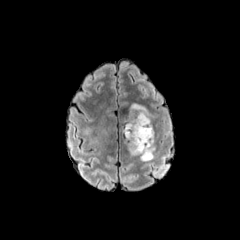
FLAIR MR.
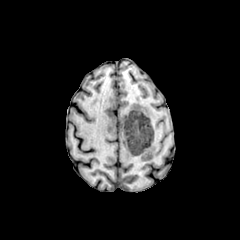
T1-weighted MRI.
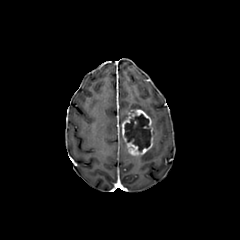
Same slice, post-contrast T1-weighted MR image.
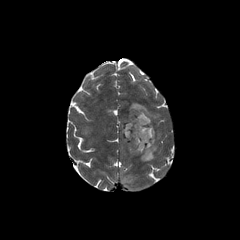
Same slice, T2-weighted MRI.
Brain
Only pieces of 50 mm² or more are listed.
The 2 largest peritumoral edema regions appear at region(129, 103, 155, 119); region(140, 131, 155, 161). The necrotic tumor core is located at region(124, 114, 151, 151). The largest enhancing tumor region is bounded by region(121, 109, 153, 155).